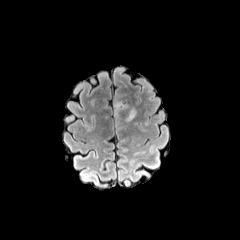
FLAIR MR image.
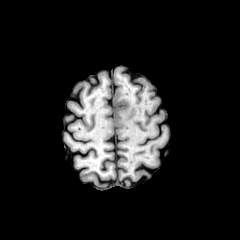
T1-weighted magnetic resonance of the same slice.
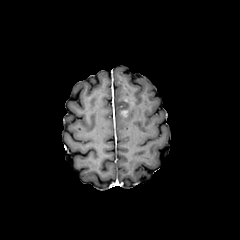
Post-contrast T1-weighted MRI of the same slice.
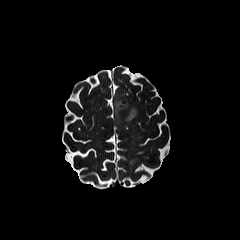
T2-weighted magnetic resonance of the same slice.
Axial view; 240x240
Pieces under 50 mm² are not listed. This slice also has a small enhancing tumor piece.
The peritumoral edema appears at (114, 98, 136, 121).